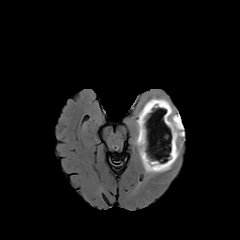
FLAIR MRI.
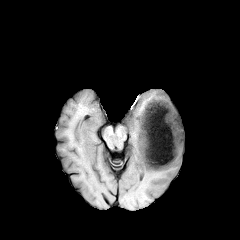
T1-weighted MR.
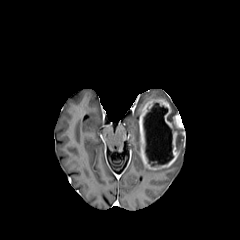
Post-contrast T1-weighted MR image of the same slice.
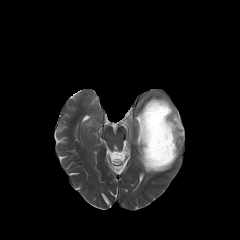
T2-weighted magnetic resonance.
Axial view
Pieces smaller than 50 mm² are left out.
peritumoral edema: [135, 109, 173, 173], [177, 136, 184, 154], [149, 96, 177, 114] | necrotic tumor core: [143, 102, 173, 166] | enhancing tumor: [138, 99, 184, 170]